240x240 px. Image covers 240 mm x 240 mm. Slice 105/155. Axial slice. Brain.
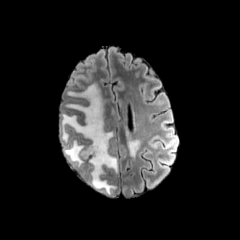
FLAIR MR image.
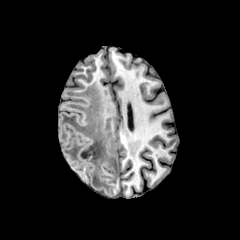
T1-weighted MR image.
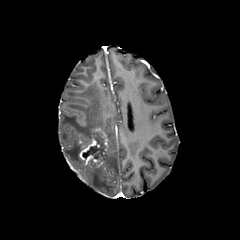
Post-contrast T1-weighted magnetic resonance.
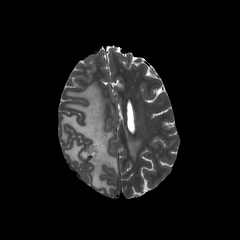
T2-weighted MR image of the same slice.
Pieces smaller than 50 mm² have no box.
enhancing tumor: x1=79 y1=127 x2=108 y2=166 | necrotic tumor core: x1=82 y1=132 x2=105 y2=159 | peritumoral edema: x1=61 y1=83 x2=117 y2=194, x1=125 y1=128 x2=141 y2=157